FLAIR MR image.
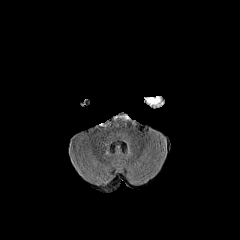
T1-weighted magnetic resonance.
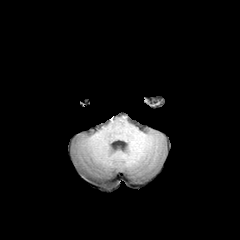
Post-contrast T1-weighted MR.
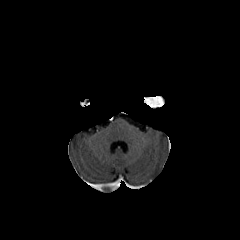
T2-weighted MR.
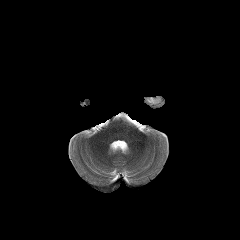
Brain
enhancing tumor: bounding box {"x1": 146, "y1": 96, "x2": 163, "y2": 106}